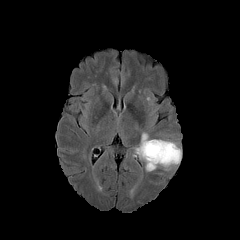
FLAIR MR image.
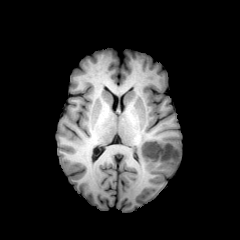
T1-weighted MR.
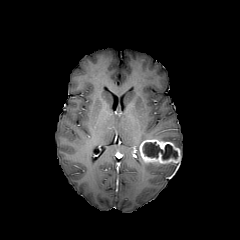
Post-contrast T1-weighted magnetic resonance.
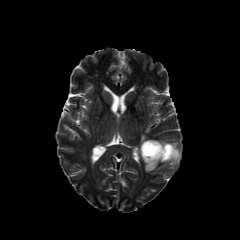
T2-weighted MR.
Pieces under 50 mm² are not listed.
necrotic tumor core: 143,142,177,159
peritumoral edema: 145,163,178,171; 140,133,148,144
enhancing tumor: 139,139,180,163